Brain.
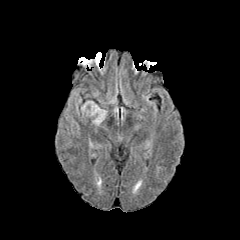
FLAIR magnetic resonance.
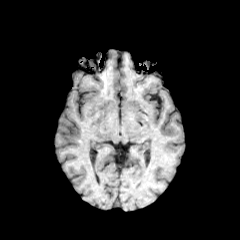
T1-weighted MR.
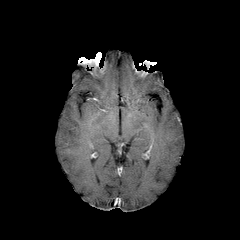
Post-contrast T1-weighted magnetic resonance.
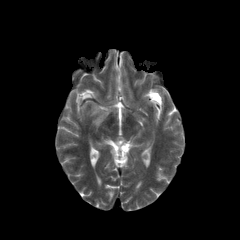
Same slice, T2-weighted MR image.
{"peritumoral_edema": [{"x1": 81, "y1": 100, "x2": 107, "y2": 125}]}